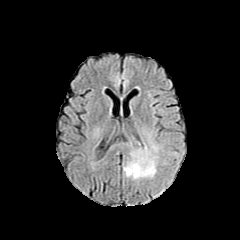
FLAIR MRI.
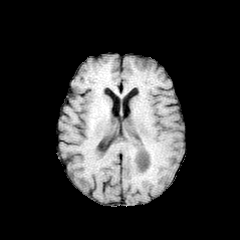
T1-weighted magnetic resonance of the same slice.
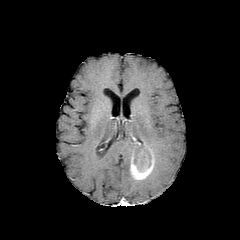
Post-contrast T1-weighted magnetic resonance of the same slice.
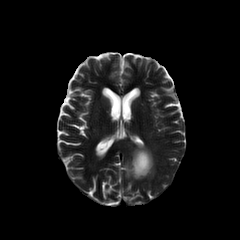
T2-weighted MRI.
Axial slice | Head
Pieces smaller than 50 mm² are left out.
The enhancing tumor is at x1=130, y1=144, x2=154, y2=179. The 3 largest peritumoral edema regions are located at x1=146, y1=142, x2=158, y2=177; x1=123, y1=160, x2=135, y2=179; x1=109, y1=143, x2=133, y2=149. The necrotic tumor core is bounded by x1=134, y1=146, x2=151, y2=163.